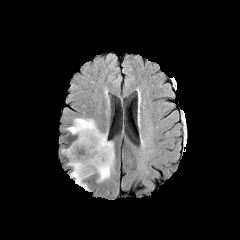
FLAIR MR.
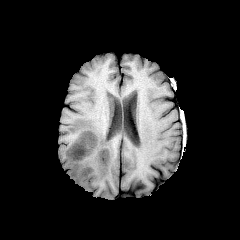
T1-weighted MR.
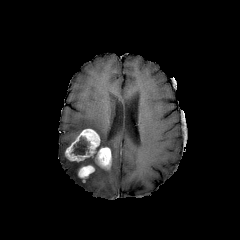
Post-contrast T1-weighted MRI of the same slice.
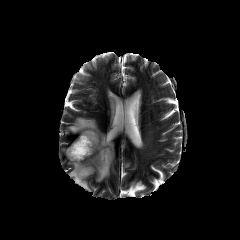
T2-weighted MR image.
Axial plane.
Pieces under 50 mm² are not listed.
peritumoral edema: bounding box <bbox>67, 118, 114, 191</bbox>
enhancing tumor: bounding box <bbox>77, 165, 94, 181</bbox>, <bbox>65, 129, 111, 169</bbox>
necrotic tumor core: bounding box <bbox>72, 137, 88, 155</bbox>